FLAIR MR.
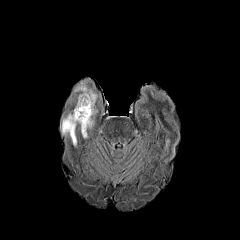
T1-weighted MRI.
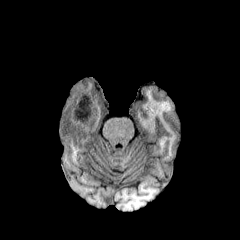
Post-contrast T1-weighted MR.
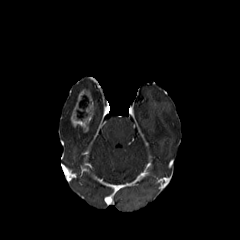
T2-weighted magnetic resonance.
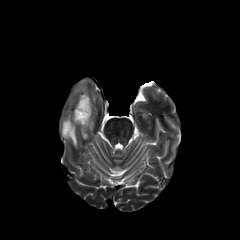
Brain | 240x240 | Axial view
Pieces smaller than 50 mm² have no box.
enhancing tumor — (70, 89, 95, 132)
peritumoral edema — (61, 113, 77, 146), (68, 79, 100, 105), (89, 108, 97, 129)
necrotic tumor core — (76, 95, 89, 120)